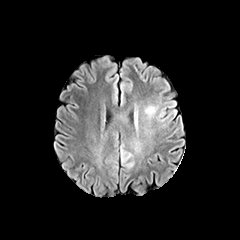
FLAIR MR.
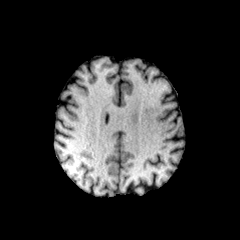
T1-weighted MRI.
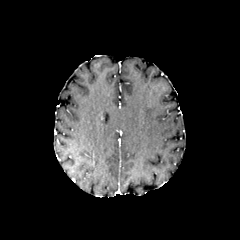
Same slice, post-contrast T1-weighted MR.
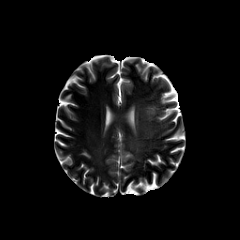
T2-weighted magnetic resonance.
240x240; Axial plane
peritumoral_edema:
  - (left=144, top=106, right=157, bottom=121)